Slice 78 of 155. Head. Axial view.
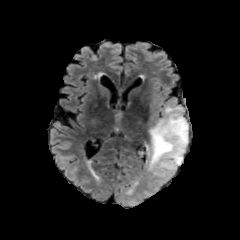
FLAIR magnetic resonance.
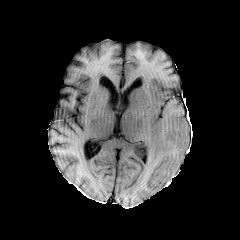
Same slice, T1-weighted MRI.
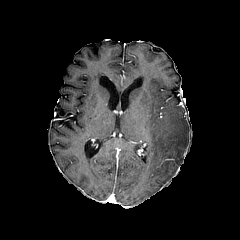
Post-contrast T1-weighted MRI of the same slice.
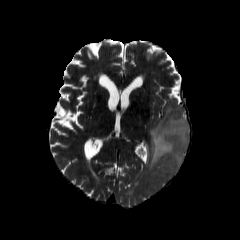
T2-weighted MRI.
peritumoral edema: bbox=[146, 105, 188, 179]